Brain
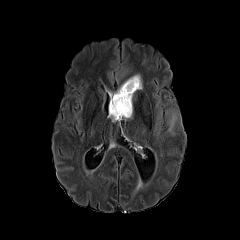
FLAIR MRI.
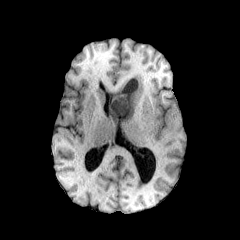
Same slice, T1-weighted magnetic resonance.
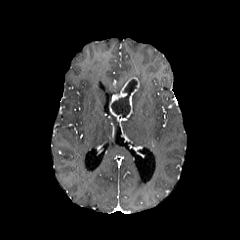
Post-contrast T1-weighted MRI.
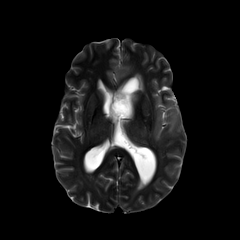
T2-weighted MR.
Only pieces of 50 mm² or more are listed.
Annotated regions:
• enhancing tumor: (x1=109, y1=77, x2=139, y2=121)
• necrotic tumor core: (x1=111, y1=79, x2=137, y2=118)
• peritumoral edema: (x1=167, y1=111, x2=178, y2=135), (x1=134, y1=74, x2=142, y2=89)